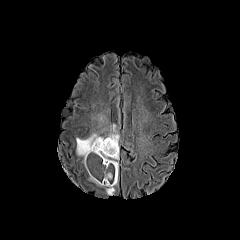
FLAIR magnetic resonance.
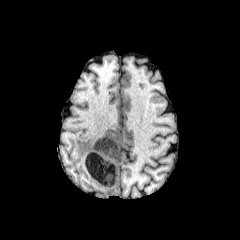
T1-weighted magnetic resonance.
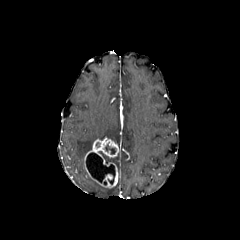
Post-contrast T1-weighted MRI.
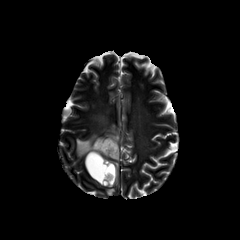
T2-weighted MR image.
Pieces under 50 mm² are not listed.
- enhancing tumor: <box>84,139,119,188</box>
- peritumoral edema: <box>106,187,115,195</box>, <box>76,133,103,156</box>, <box>108,124,119,144</box>
- necrotic tumor core: <box>86,152,115,184</box>, <box>105,144,115,154</box>, <box>99,151,115,163</box>